FLAIR magnetic resonance.
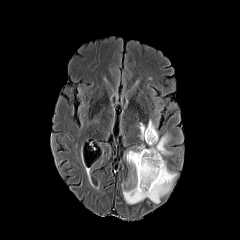
T1-weighted MRI.
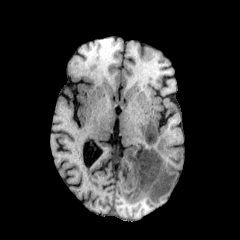
Post-contrast T1-weighted MRI.
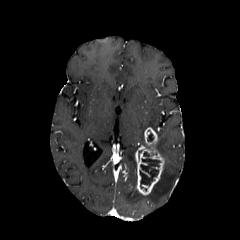
T2-weighted magnetic resonance.
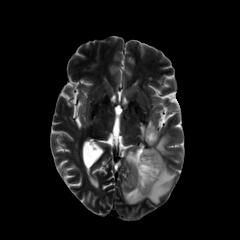
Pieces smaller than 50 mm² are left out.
necrotic tumor core: [139,152,160,188]
enhancing tumor: [135,127,164,195]
peritumoral edema: [155,133,171,155], [123,150,176,204], [139,119,157,140]